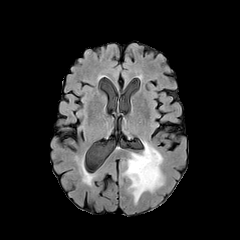
FLAIR magnetic resonance.
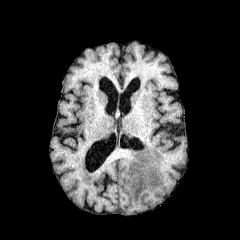
T1-weighted MR.
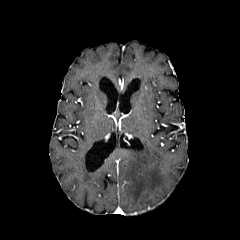
Post-contrast T1-weighted MR image.
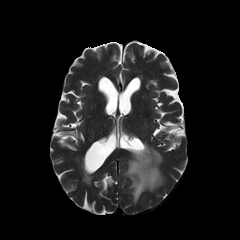
T2-weighted MRI.
Image size 240x240
Findings:
- peritumoral edema: [123,142,163,203]